Axial slice, Head, Slice index 89, Image covers 240 mm x 240 mm
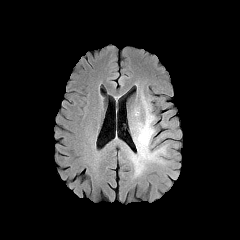
FLAIR MR.
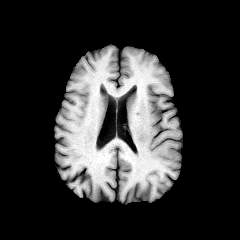
T1-weighted MR of the same slice.
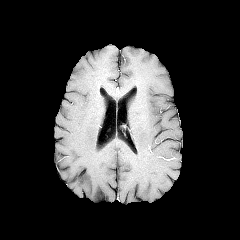
Post-contrast T1-weighted magnetic resonance of the same slice.
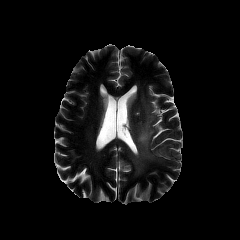
T2-weighted MR of the same slice.
peritumoral edema: box=[132, 101, 165, 172]